Axial plane. 240x240. Head.
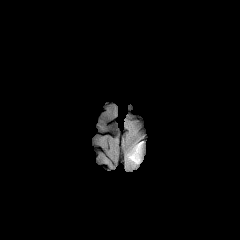
FLAIR MRI.
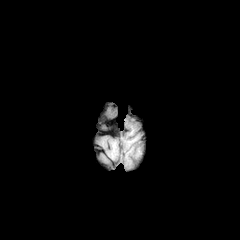
T1-weighted MRI.
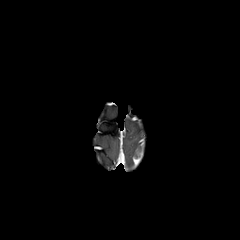
Post-contrast T1-weighted MR of the same slice.
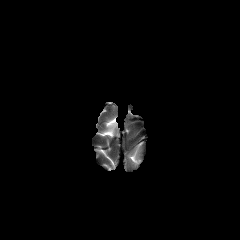
Same slice, T2-weighted MR image.
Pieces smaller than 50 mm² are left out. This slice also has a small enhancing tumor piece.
{
  "peritumoral_edema": [
    "[129,144,139,160]"
  ]
}